Axial slice, Image size 240x240, Brain
FLAIR MR image.
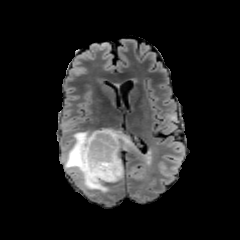
T1-weighted MRI.
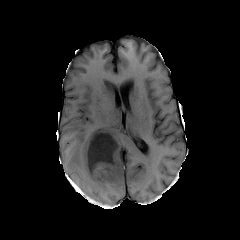
Post-contrast T1-weighted magnetic resonance.
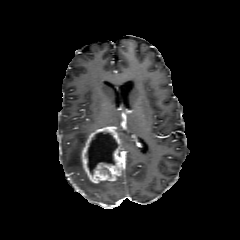
T2-weighted MR image.
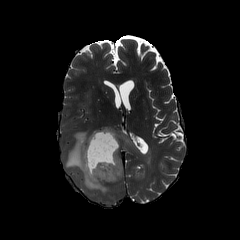
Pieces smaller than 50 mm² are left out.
enhancing tumor: bounding box box=[82, 125, 124, 183]
peritumoral edema: bounding box box=[63, 131, 108, 192]; box=[118, 132, 130, 148]
necrotic tumor core: bounding box box=[87, 133, 118, 174]